Brain, Image covers 240 mm x 240 mm, 240x240 px, Slice 64/155
FLAIR magnetic resonance.
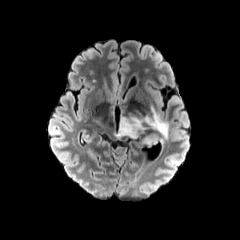
T1-weighted magnetic resonance.
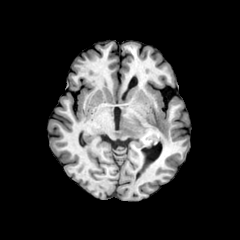
Post-contrast T1-weighted MRI.
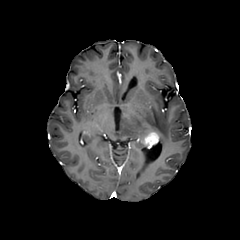
T2-weighted MR.
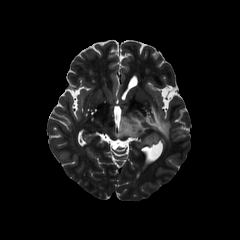
The enhancing tumor appears at bbox=[143, 132, 158, 147]. The peritumoral edema is located at bbox=[116, 107, 169, 142].